FLAIR magnetic resonance.
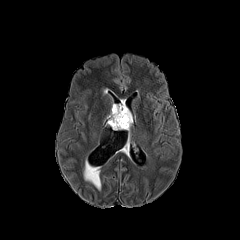
T1-weighted MR image.
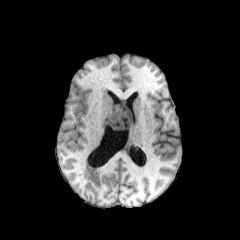
Post-contrast T1-weighted MR image.
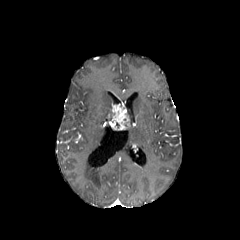
T2-weighted MR image.
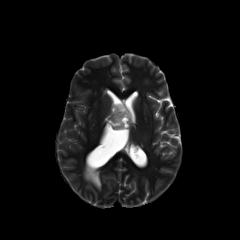
Axial view
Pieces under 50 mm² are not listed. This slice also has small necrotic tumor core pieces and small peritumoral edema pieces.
enhancing tumor: rect(108, 103, 130, 129)